Head | Slice index 97 | Axial view | Image size 240x240
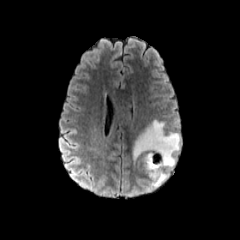
FLAIR MRI.
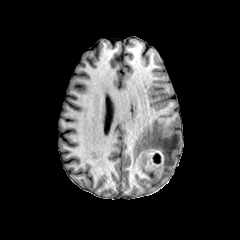
T1-weighted MR image.
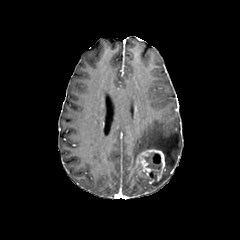
Post-contrast T1-weighted MR of the same slice.
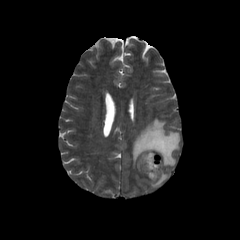
T2-weighted magnetic resonance of the same slice.
necrotic tumor core at (145, 152, 161, 179)
enhancing tumor at (136, 148, 165, 183)
peritumoral edema at (132, 119, 180, 188)